FLAIR MR.
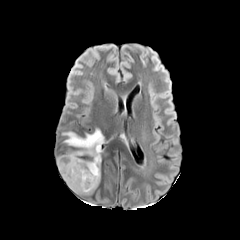
T1-weighted MR image.
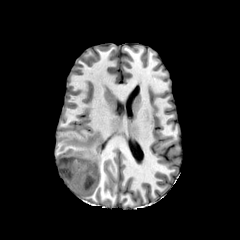
Post-contrast T1-weighted MRI.
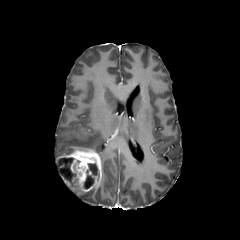
T2-weighted MRI.
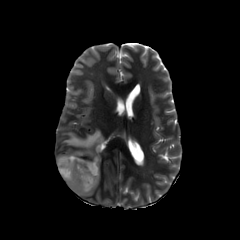
240x240 px. Head.
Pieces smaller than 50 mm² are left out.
enhancing tumor = 56 148 101 192
peritumoral edema = 62 128 104 161
necrotic tumor core = 57 157 78 189, 88 163 97 175, 84 175 94 188